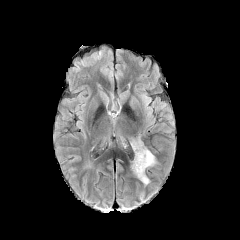
FLAIR MRI.
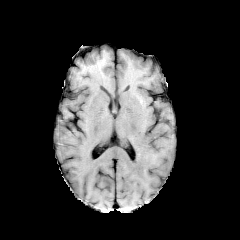
T1-weighted MRI of the same slice.
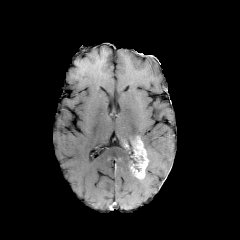
Post-contrast T1-weighted MR of the same slice.
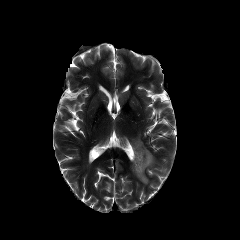
T2-weighted MRI of the same slice.
Brain.
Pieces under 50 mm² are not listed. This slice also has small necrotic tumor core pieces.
enhancing tumor: bounding box (left=131, top=137, right=148, bottom=179)
peritumoral edema: bounding box (left=145, top=148, right=155, bottom=167)